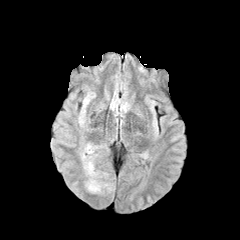
FLAIR MR image.
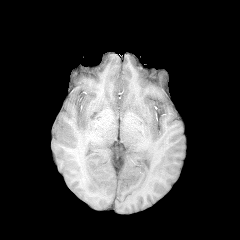
T1-weighted MR.
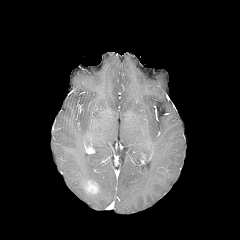
Post-contrast T1-weighted MR.
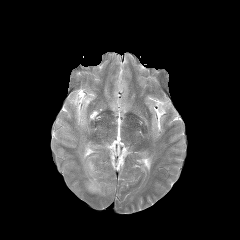
T2-weighted MR.
240x240
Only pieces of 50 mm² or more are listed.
<segmentation>
  <enhancing_tumor>[85, 180, 98, 193]</enhancing_tumor>
  <peritumoral_edema>[81, 143, 112, 193]</peritumoral_edema>
</segmentation>